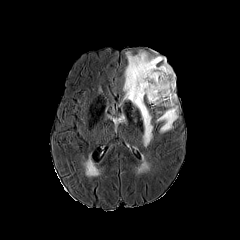
FLAIR MR image.
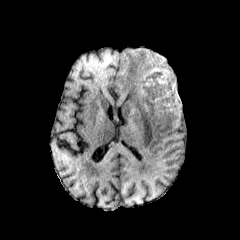
T1-weighted magnetic resonance.
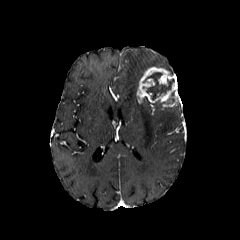
Same slice, post-contrast T1-weighted MR.
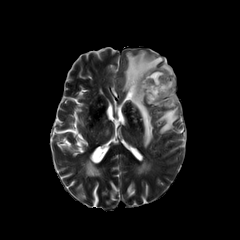
T2-weighted magnetic resonance.
Axial view
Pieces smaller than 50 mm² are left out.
enhancing tumor: l=136, t=67, r=177, b=107 | peritumoral edema: l=123, t=50, r=174, b=146; l=156, t=105, r=178, b=132 | necrotic tumor core: l=146, t=72, r=174, b=99